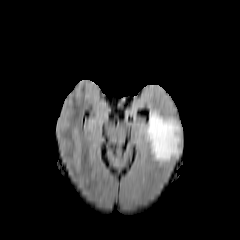
FLAIR MR.
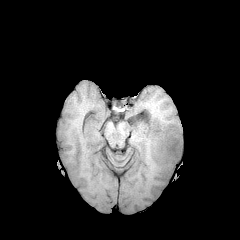
Same slice, T1-weighted magnetic resonance.
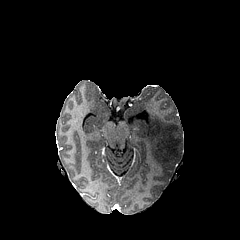
Same slice, post-contrast T1-weighted MR.
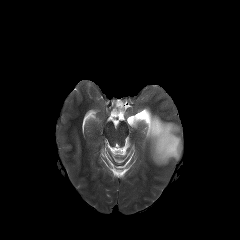
Same slice, T2-weighted magnetic resonance.
Axial slice.
The peritumoral edema lies within 140 111 181 164.